240x240; Brain
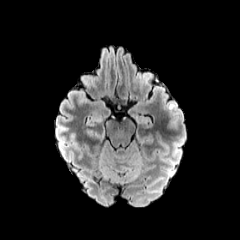
FLAIR MR image.
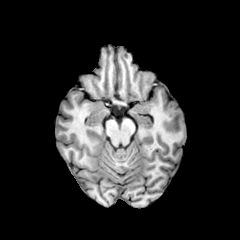
Same slice, T1-weighted MRI.
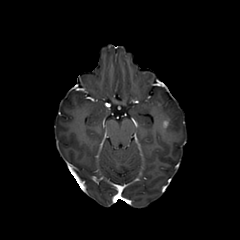
Same slice, post-contrast T1-weighted magnetic resonance.
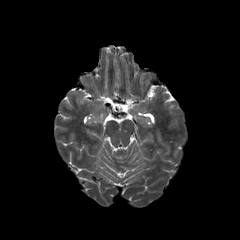
Same slice, T2-weighted MRI.
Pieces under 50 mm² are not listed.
Findings:
• peritumoral edema: 170:115:178:127
• enhancing tumor: 162:120:168:129